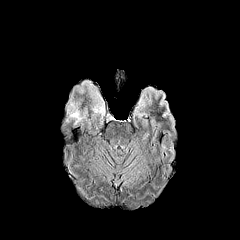
FLAIR magnetic resonance.
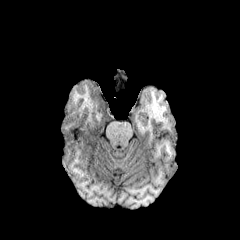
T1-weighted magnetic resonance.
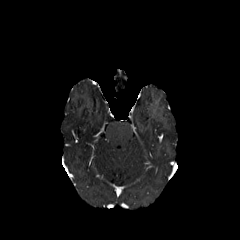
Post-contrast T1-weighted MR.
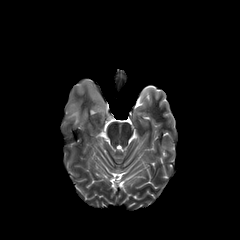
T2-weighted MR of the same slice.
Axial plane.
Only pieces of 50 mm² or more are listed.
Findings:
- peritumoral edema: rect(93, 97, 104, 115); rect(68, 102, 81, 124)